Image size 240x240. Brain. Slice 118 of 155.
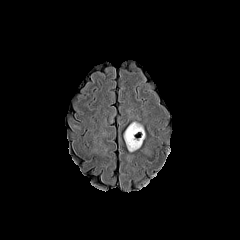
FLAIR MR image.
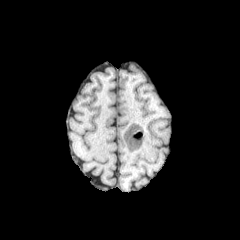
Same slice, T1-weighted MRI.
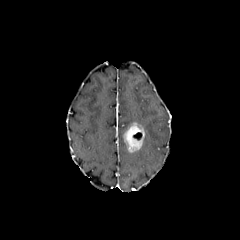
Post-contrast T1-weighted magnetic resonance.
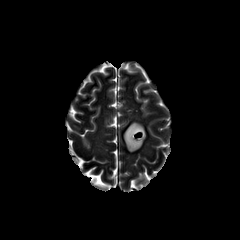
T2-weighted magnetic resonance.
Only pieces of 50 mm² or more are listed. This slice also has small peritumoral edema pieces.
The enhancing tumor lies within bbox(123, 122, 144, 152). The necrotic tumor core lies within bbox(133, 132, 141, 139).